FLAIR MR.
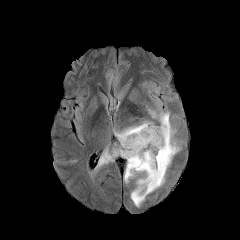
T1-weighted magnetic resonance.
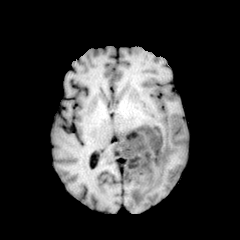
Post-contrast T1-weighted MRI.
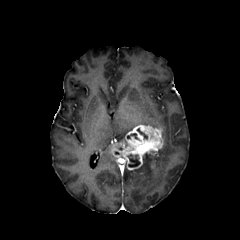
T2-weighted MR.
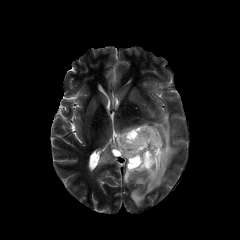
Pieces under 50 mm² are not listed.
{"enhancing_tumor": ["[111,125,163,170]"], "peritumoral_edema": ["[124,112,179,206]", "[114,126,135,142]", "[98,148,115,166]"], "necrotic_tumor_core": ["[128,154,140,167]"]}